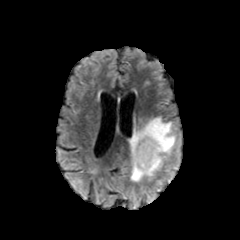
FLAIR magnetic resonance.
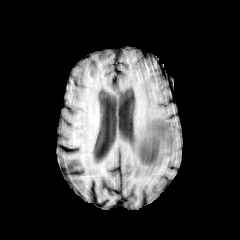
Same slice, T1-weighted magnetic resonance.
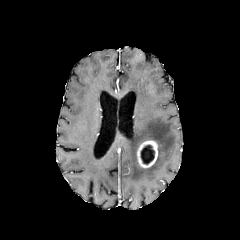
Post-contrast T1-weighted MRI.
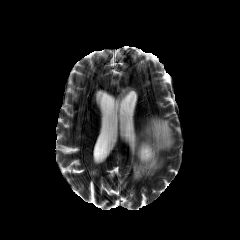
T2-weighted magnetic resonance of the same slice.
Brain, Image size 240x240
enhancing tumor — l=136, t=140, r=158, b=168
peritumoral edema — l=129, t=117, r=175, b=181
necrotic tumor core — l=141, t=145, r=154, b=164